FLAIR MR.
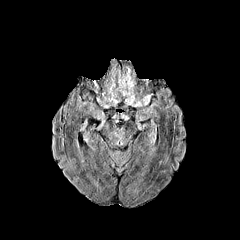
T1-weighted MRI.
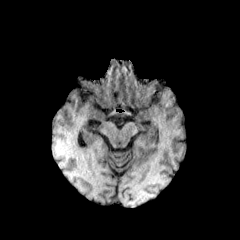
Post-contrast T1-weighted MR.
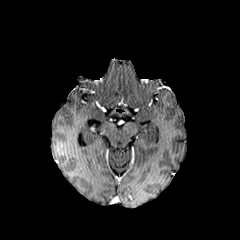
T2-weighted magnetic resonance.
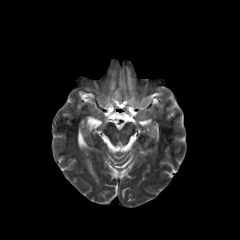
Image size 240x240. Brain.
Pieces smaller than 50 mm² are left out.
peritumoral edema — (left=95, top=67, right=152, bottom=107)